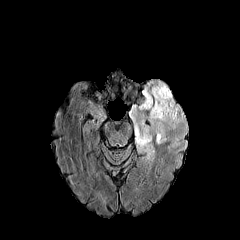
FLAIR MR.
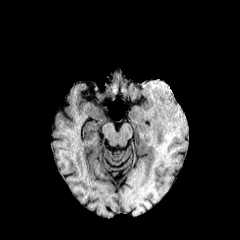
T1-weighted MR.
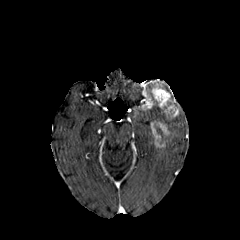
Post-contrast T1-weighted MR of the same slice.
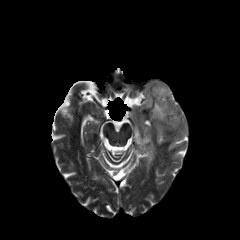
Same slice, T2-weighted magnetic resonance.
Head. Axial slice. Image size 240x240.
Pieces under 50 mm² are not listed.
<segmentation>
  <peritumoral_edema>[x1=129, y1=102, x2=184, y2=160], [x1=146, y1=79, x2=171, y2=94]</peritumoral_edema>
  <enhancing_tumor>[x1=151, y1=121, x2=168, y2=146], [x1=138, y1=83, x2=179, y2=119]</enhancing_tumor>
</segmentation>